FLAIR MR image.
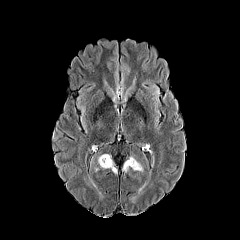
T1-weighted magnetic resonance.
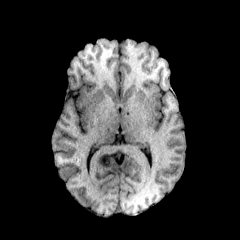
Post-contrast T1-weighted magnetic resonance.
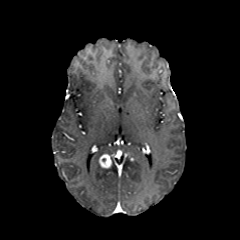
T2-weighted magnetic resonance.
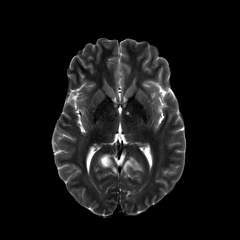
Brain
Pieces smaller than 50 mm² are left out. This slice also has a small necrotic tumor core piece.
<segmentation>
  <peritumoral_edema>box(123, 158, 143, 171)</peritumoral_edema>
  <enhancing_tumor>box(99, 154, 111, 168)</enhancing_tumor>
</segmentation>